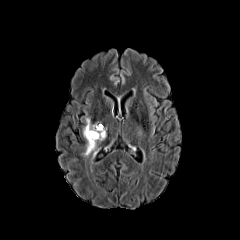
FLAIR MRI.
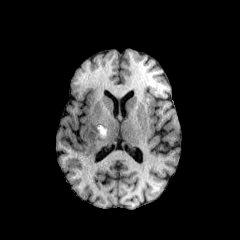
T1-weighted magnetic resonance of the same slice.
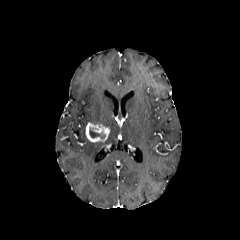
Post-contrast T1-weighted MR.
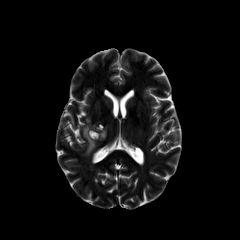
Same slice, T2-weighted MR.
Brain
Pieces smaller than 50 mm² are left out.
The enhancing tumor appears at (85, 122, 109, 142). The largest peritumoral edema region is at (83, 139, 98, 157). The necrotic tumor core lies within (89, 128, 105, 138).